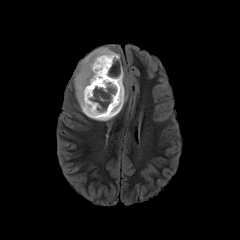
FLAIR MR image.
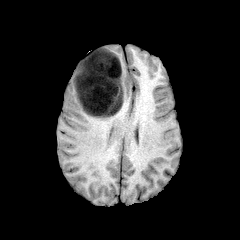
T1-weighted magnetic resonance.
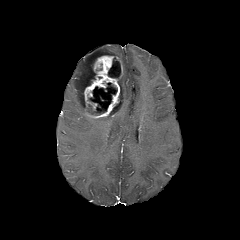
Post-contrast T1-weighted magnetic resonance.
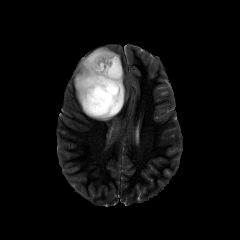
T2-weighted MR.
Axial view | Brain
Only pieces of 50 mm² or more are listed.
Segmented structures:
* enhancing tumor: [84, 55, 119, 118]
* peritumoral edema: [73, 46, 120, 115], [87, 68, 127, 121]
* necrotic tumor core: [109, 95, 120, 115], [108, 57, 120, 78], [87, 82, 117, 114]